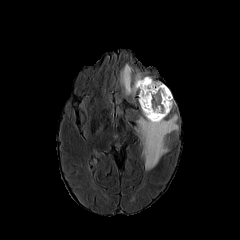
FLAIR magnetic resonance.
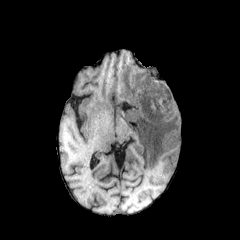
T1-weighted MRI of the same slice.
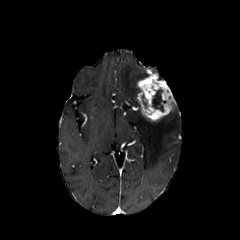
Post-contrast T1-weighted magnetic resonance.
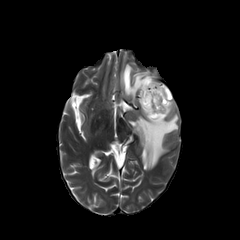
T2-weighted MR of the same slice.
240x240 | Brain | Axial plane
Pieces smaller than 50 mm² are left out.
{
  "necrotic_tumor_core": [
    "left=152, top=89, right=166, bottom=111"
  ],
  "enhancing_tumor": [
    "left=137, top=75, right=175, bottom=121"
  ],
  "peritumoral_edema": [
    "left=120, top=64, right=147, bottom=100",
    "left=136, top=113, right=178, bottom=170"
  ]
}